240x240, Slice 122 of 155
FLAIR MRI.
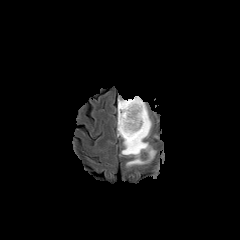
T1-weighted MR.
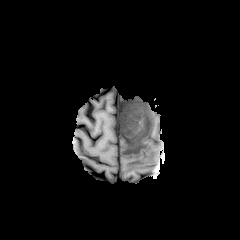
Post-contrast T1-weighted MR image.
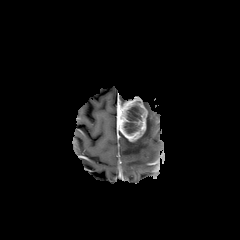
T2-weighted magnetic resonance.
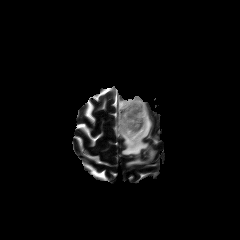
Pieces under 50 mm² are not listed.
{
  "enhancing_tumor": [
    "117,96,147,141",
    "141,150,149,160"
  ],
  "peritumoral_edema": [
    "119,111,156,166"
  ],
  "necrotic_tumor_core": [
    "124,105,142,133"
  ]
}